Slice index 69 | 240x240 | Image covers 240 mm x 240 mm
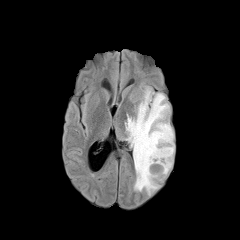
FLAIR magnetic resonance.
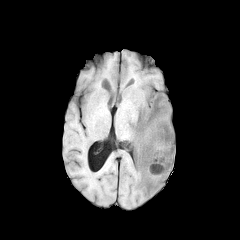
T1-weighted magnetic resonance of the same slice.
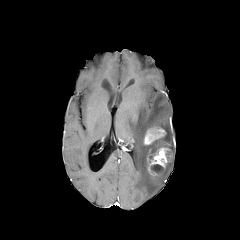
Post-contrast T1-weighted MR.
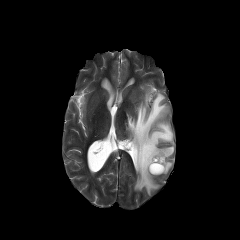
T2-weighted MR of the same slice.
Segmented structures:
- enhancing tumor: <box>147,147,170,175</box>, <box>144,128,165,144</box>
- peritumoral edema: <box>126,88,174,195</box>
- necrotic tumor core: <box>150,164,162,173</box>